FLAIR MRI.
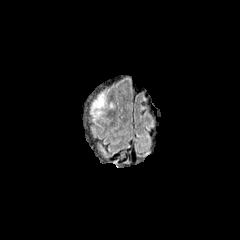
T1-weighted MRI.
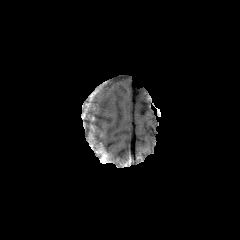
Post-contrast T1-weighted MR.
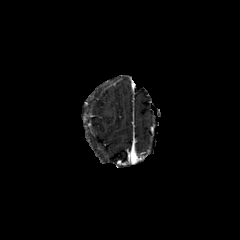
T2-weighted MR.
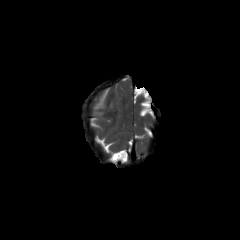
Head, Axial slice, 240x240 px
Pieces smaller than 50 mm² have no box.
peritumoral edema: bbox(91, 92, 106, 119)